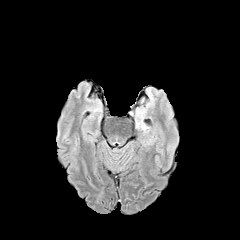
FLAIR magnetic resonance.
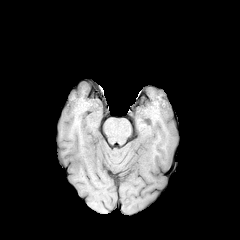
Same slice, T1-weighted MR image.
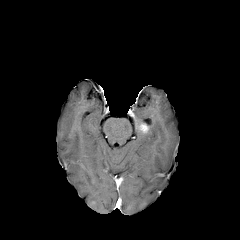
Post-contrast T1-weighted MRI.
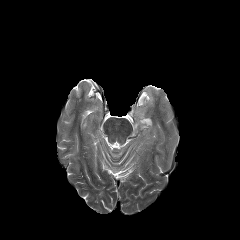
T2-weighted magnetic resonance.
Head
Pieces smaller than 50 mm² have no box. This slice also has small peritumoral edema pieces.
The enhancing tumor appears at 140 124 148 132.